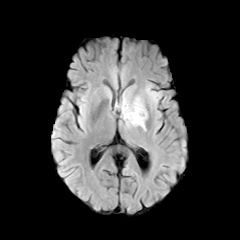
FLAIR MR.
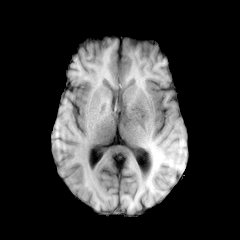
T1-weighted MR of the same slice.
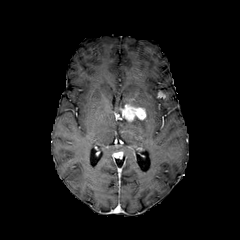
Post-contrast T1-weighted MR of the same slice.
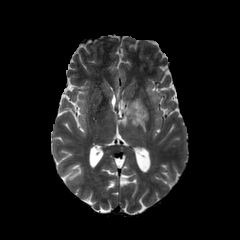
T2-weighted magnetic resonance.
Axial slice, Head
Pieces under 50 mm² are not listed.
enhancing tumor: bounding box box(157, 91, 165, 98); box(120, 104, 146, 121)
peritumoral edema: bounding box box(116, 96, 144, 108); box(147, 85, 158, 102); box(123, 113, 147, 130)